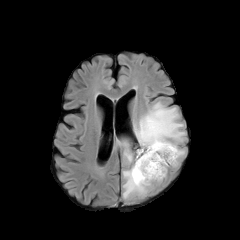
FLAIR MR image.
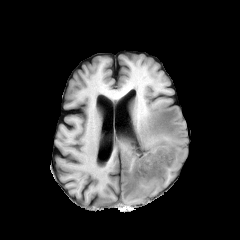
T1-weighted MRI.
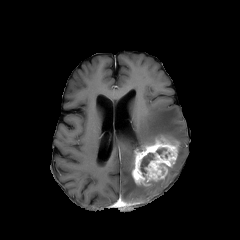
Post-contrast T1-weighted MR.
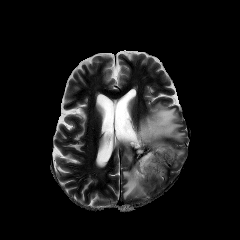
T2-weighted MRI.
Brain
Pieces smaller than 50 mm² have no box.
The largest necrotic tumor core region appears at (141,153,153,173). The enhancing tumor appears at (132,135,178,186). 4 peritumoral edema regions are bounded by (172,148,185,166), (117,140,134,164), (122,164,154,199), (134,102,185,147).